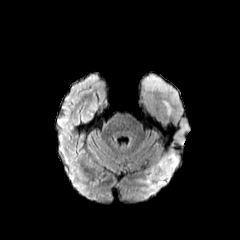
FLAIR magnetic resonance.
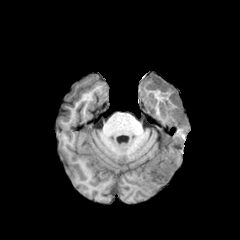
T1-weighted MRI of the same slice.
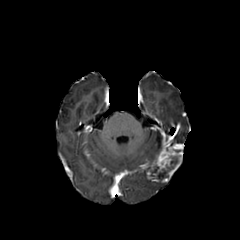
Same slice, post-contrast T1-weighted MRI.
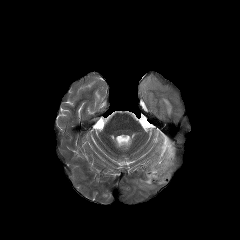
T2-weighted MRI.
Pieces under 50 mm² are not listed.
<segmentation>
  <necrotic_tumor_core>bbox(156, 168, 171, 180); bbox(150, 165, 159, 176)</necrotic_tumor_core>
  <enhancing_tumor>bbox(146, 145, 181, 182)</enhancing_tumor>
  <peritumoral_edema>bbox(137, 167, 166, 193)</peritumoral_edema>
</segmentation>